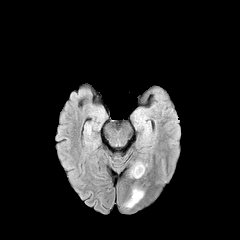
FLAIR MR image.
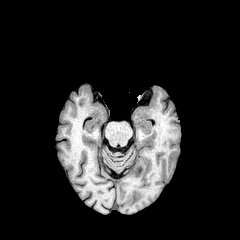
Same slice, T1-weighted MR.
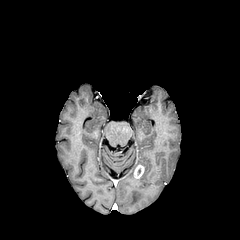
Same slice, post-contrast T1-weighted MR image.
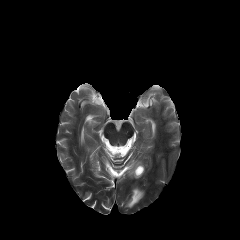
T2-weighted MRI of the same slice.
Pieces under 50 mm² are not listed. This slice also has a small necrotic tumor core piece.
peritumoral edema: (left=126, top=189, right=143, bottom=207) | enhancing tumor: (left=134, top=165, right=144, bottom=178)